Head; Axial plane; 240x240 px; Image covers 240 mm x 240 mm
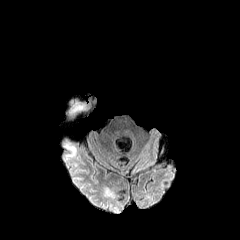
FLAIR MRI.
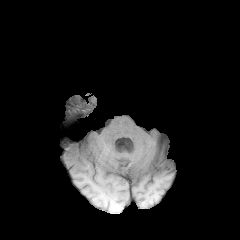
T1-weighted magnetic resonance.
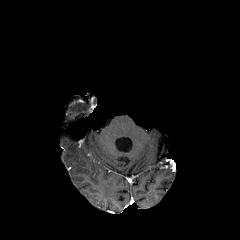
Post-contrast T1-weighted MR image of the same slice.
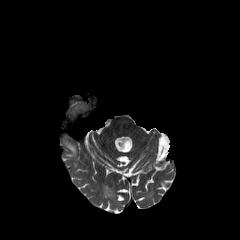
Same slice, T2-weighted MRI.
<segmentation>
  <peritumoral_edema>rect(104, 187, 114, 197); rect(66, 144, 75, 156); rect(72, 105, 85, 113)</peritumoral_edema>
</segmentation>